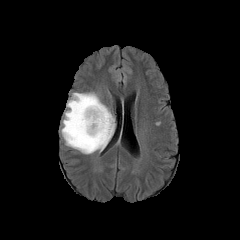
FLAIR magnetic resonance.
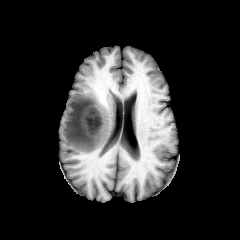
Same slice, T1-weighted MR.
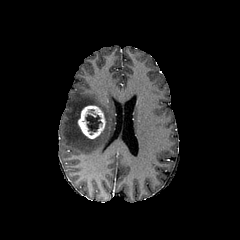
Post-contrast T1-weighted MR image of the same slice.
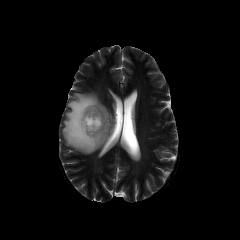
Same slice, T2-weighted MR.
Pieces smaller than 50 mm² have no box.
<segmentation>
  <peritumoral_edema>(61, 93, 114, 154)</peritumoral_edema>
  <enhancing_tumor>(78, 105, 105, 138)</enhancing_tumor>
  <necrotic_tumor_core>(86, 114, 101, 131)</necrotic_tumor_core>
</segmentation>